Head
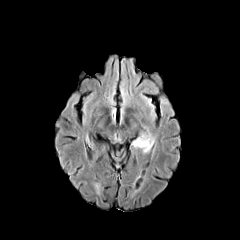
FLAIR MR image.
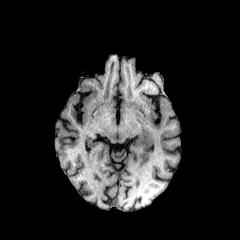
Same slice, T1-weighted MR.
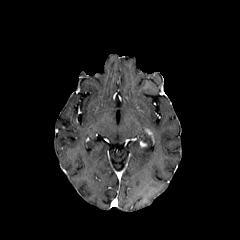
Post-contrast T1-weighted MRI.
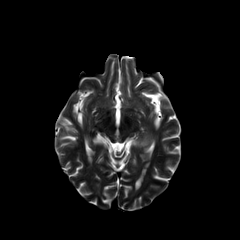
T2-weighted MRI of the same slice.
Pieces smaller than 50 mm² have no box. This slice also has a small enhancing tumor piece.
peritumoral edema = (left=132, top=134, right=153, bottom=152)